Slice 51/155, Image width 240 mm, 1.00 mm slice spacing
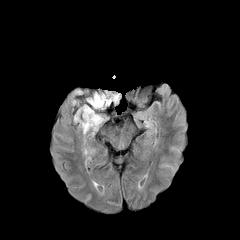
FLAIR MR.
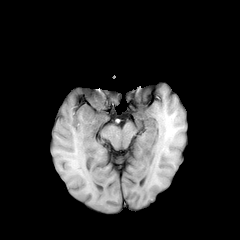
T1-weighted magnetic resonance.
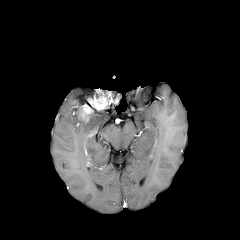
Same slice, post-contrast T1-weighted MR image.
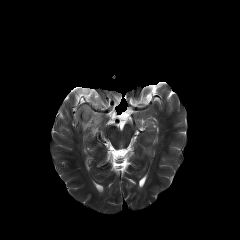
T2-weighted MR.
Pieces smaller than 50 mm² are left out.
enhancing tumor at 80, 90, 119, 121
peritumoral edema at 81, 113, 103, 133